240x240 px
FLAIR MR.
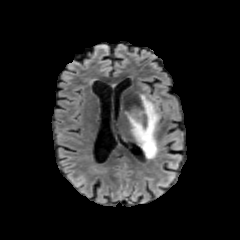
T1-weighted magnetic resonance.
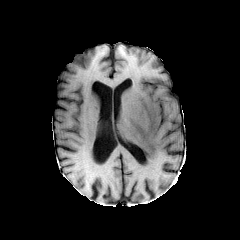
Post-contrast T1-weighted magnetic resonance.
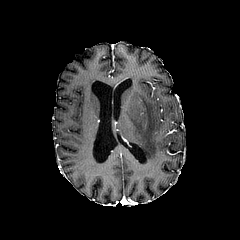
T2-weighted MR image.
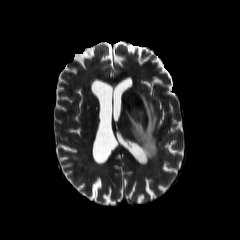
peritumoral_edema:
  - (119,93,158,158)